FLAIR MRI.
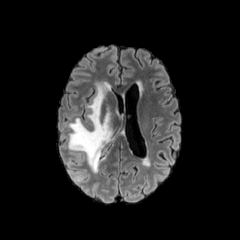
T1-weighted MRI.
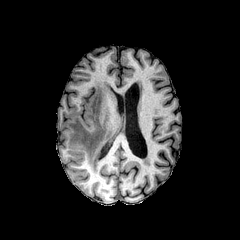
Post-contrast T1-weighted MRI.
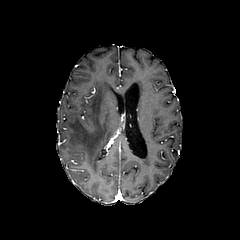
T2-weighted MR.
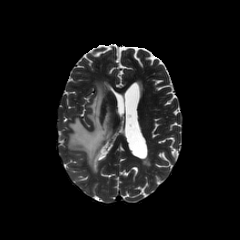
Brain
The peritumoral edema is located at box=[68, 81, 114, 172].